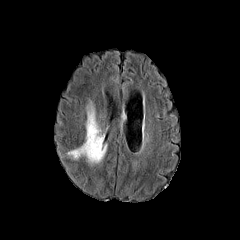
FLAIR magnetic resonance.
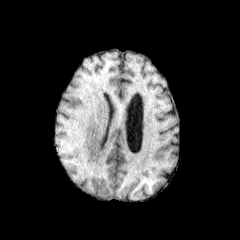
T1-weighted magnetic resonance.
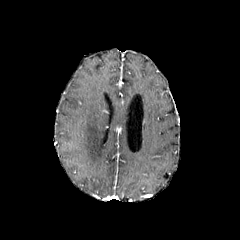
Post-contrast T1-weighted MR.
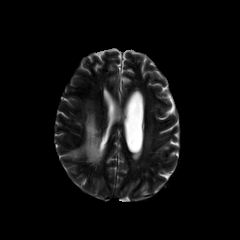
T2-weighted MR.
Axial slice | Brain
The peritumoral edema appears at rect(68, 105, 106, 162).